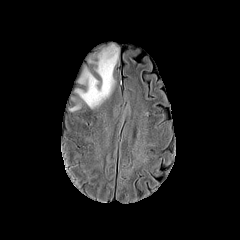
FLAIR MR image.
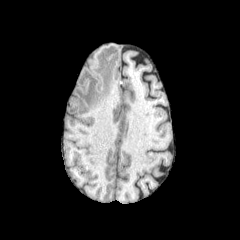
T1-weighted MR image.
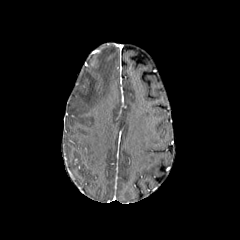
Post-contrast T1-weighted MR of the same slice.
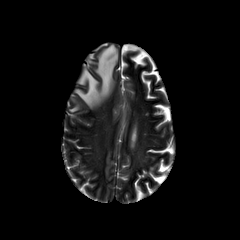
Same slice, T2-weighted MRI.
Axial plane, Brain
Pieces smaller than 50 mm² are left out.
<segmentation>
  <peritumoral_edema>region(75, 45, 118, 108)</peritumoral_edema>
</segmentation>